Image width 240 mm. 240x240.
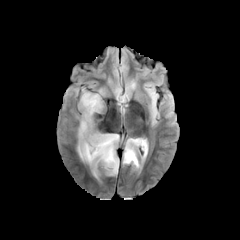
FLAIR MRI.
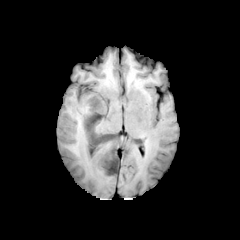
T1-weighted MR of the same slice.
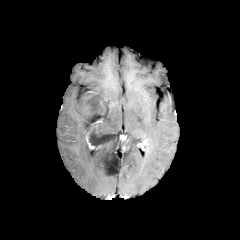
Post-contrast T1-weighted MR of the same slice.
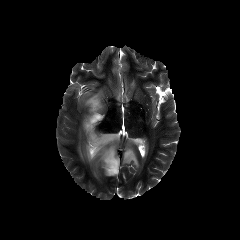
T2-weighted MR.
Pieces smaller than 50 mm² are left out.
peritumoral edema = 123 138 148 168, 78 92 119 177
necrotic tumor core = 86 115 113 151, 104 152 118 174